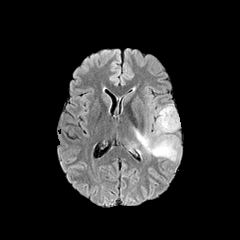
FLAIR magnetic resonance.
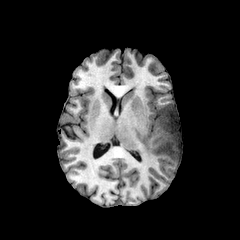
T1-weighted MR image.
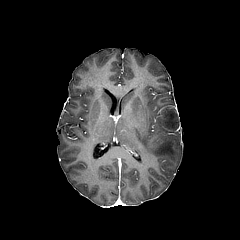
Same slice, post-contrast T1-weighted MR image.
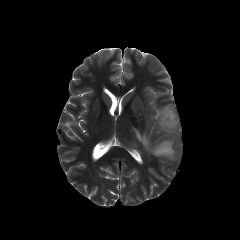
Same slice, T2-weighted MRI.
Axial plane. Head. 240x240 px.
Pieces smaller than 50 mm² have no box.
Segmented structures:
• peritumoral edema: 130, 143, 141, 154; 133, 104, 179, 160